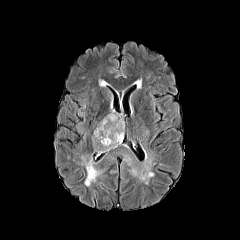
FLAIR MR image.
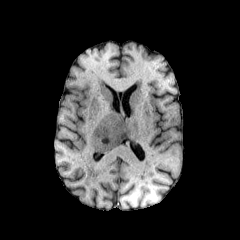
T1-weighted MR of the same slice.
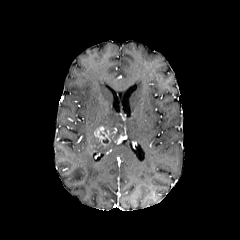
Post-contrast T1-weighted MRI.
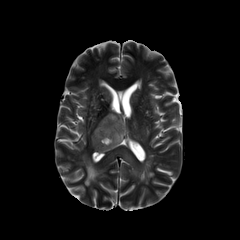
Same slice, T2-weighted magnetic resonance.
Image size 240x240 | Axial slice
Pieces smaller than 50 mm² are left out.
necrotic tumor core — 109 130 119 142
enhancing tumor — 94 126 111 145, 114 134 123 144
peritumoral edema — 82 156 101 186, 95 109 124 136, 92 134 117 153